Slice 46 of 155 | Brain | Image width 240 mm
FLAIR magnetic resonance.
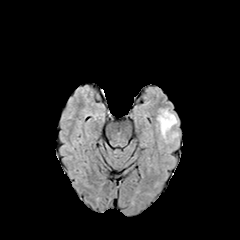
T1-weighted MR.
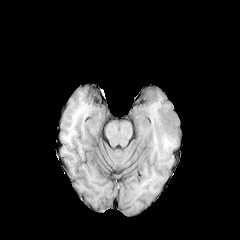
Post-contrast T1-weighted MRI.
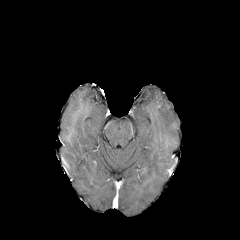
T2-weighted MR.
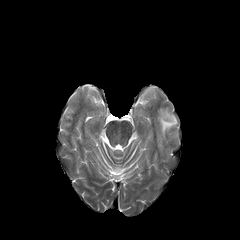
peritumoral edema: bounding box 157:108:178:141